Axial slice. Image size 240x240.
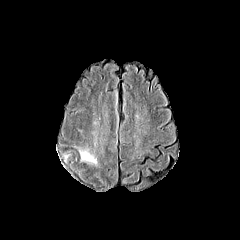
FLAIR MR.
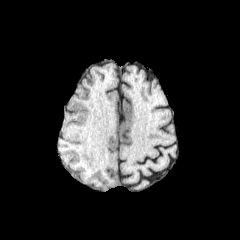
T1-weighted MRI.
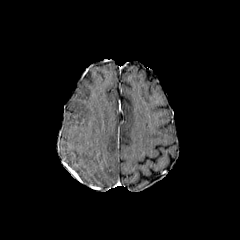
Post-contrast T1-weighted MRI of the same slice.
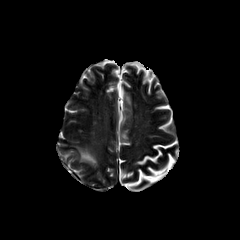
T2-weighted MR.
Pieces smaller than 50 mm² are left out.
peritumoral_edema:
  - (x1=80, y1=150, x2=96, y2=163)